Image width 240 mm; Head; Slice index 94; 240x240 px
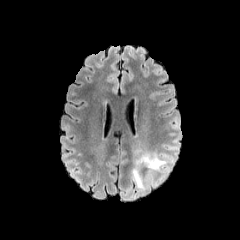
FLAIR MRI.
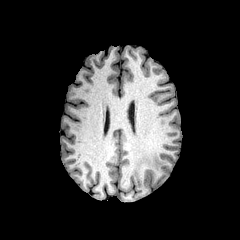
Same slice, T1-weighted MRI.
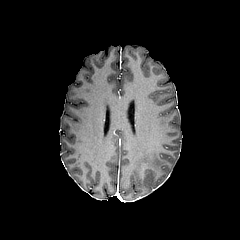
Post-contrast T1-weighted MR image of the same slice.
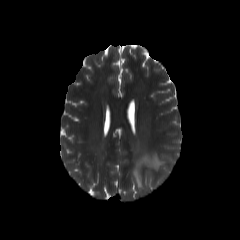
T2-weighted magnetic resonance.
peritumoral_edema:
  - box(131, 153, 175, 191)